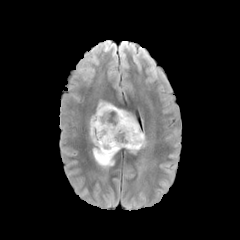
FLAIR MR image.
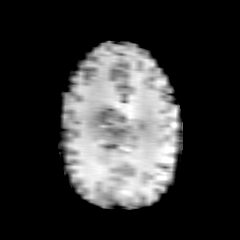
T1-weighted MR image.
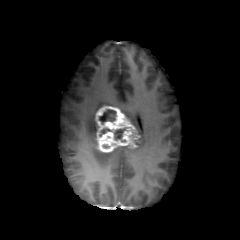
Same slice, post-contrast T1-weighted MR.
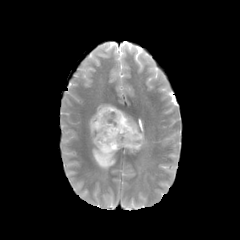
Same slice, T2-weighted MRI.
Brain, Axial slice
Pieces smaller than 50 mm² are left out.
* necrotic tumor core: [115,129,123,138], [99,110,115,121]
* peritumoral edema: [97,99,115,110], [93,109,146,168], [89,114,97,146]
* enhancing tumor: [95,106,140,152]